Head.
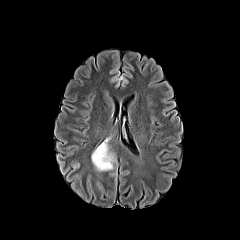
FLAIR MRI.
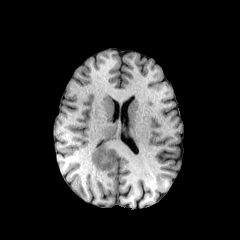
T1-weighted magnetic resonance.
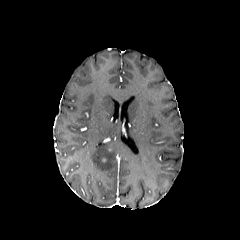
Post-contrast T1-weighted MRI.
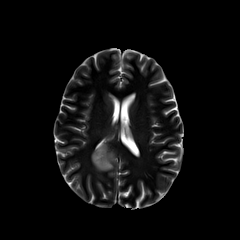
T2-weighted MR.
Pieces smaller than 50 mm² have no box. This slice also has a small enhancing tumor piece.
peritumoral edema — 91:144:115:171